Image size 240x240.
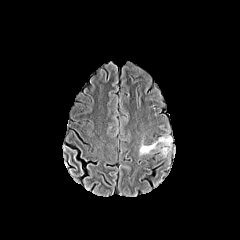
FLAIR MR image.
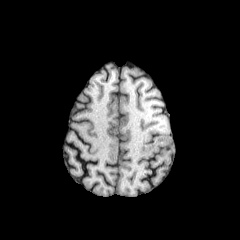
T1-weighted MR image.
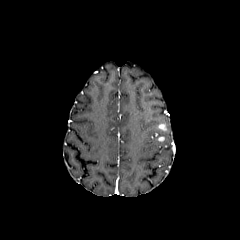
Same slice, post-contrast T1-weighted magnetic resonance.
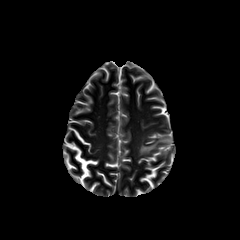
T2-weighted MRI.
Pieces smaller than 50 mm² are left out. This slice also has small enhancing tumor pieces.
<segmentation>
  <peritumoral_edema>(139, 136, 171, 154)</peritumoral_edema>
</segmentation>